FLAIR MR image.
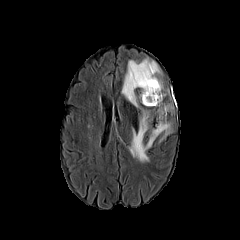
T1-weighted MRI.
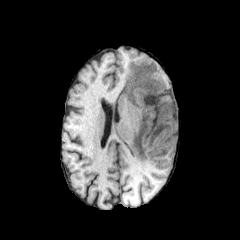
Post-contrast T1-weighted magnetic resonance.
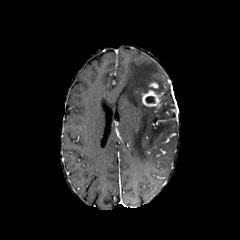
T2-weighted MR image.
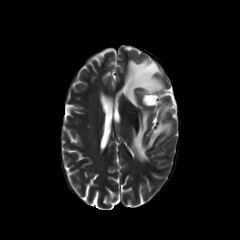
240x240
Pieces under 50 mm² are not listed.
The 3 largest peritumoral edema regions are bounded by box(159, 105, 172, 118); box(121, 58, 163, 107); box(129, 109, 172, 162). 2 enhancing tumor regions appear at box(149, 82, 158, 88); box(141, 90, 162, 106). The necrotic tumor core is bounded by box(145, 96, 155, 103).